FLAIR MR.
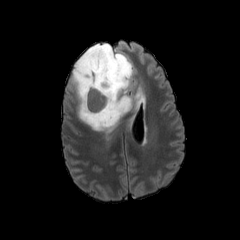
T1-weighted MRI.
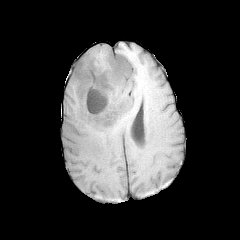
Post-contrast T1-weighted MR image.
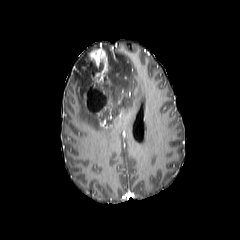
T2-weighted MRI.
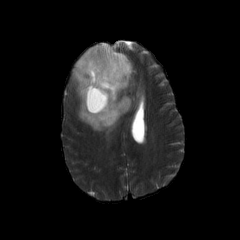
Axial view, Brain
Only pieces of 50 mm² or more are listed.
Annotated regions:
- necrotic tumor core: l=87, t=87, r=106, b=112
- enhancing tumor: l=91, t=106, r=110, b=127; l=88, t=46, r=108, b=88
- peritumoral edema: l=69, t=43, r=132, b=133; l=135, t=92, r=142, b=106